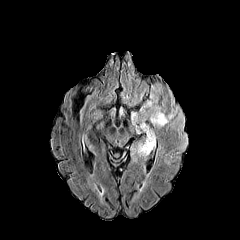
FLAIR magnetic resonance.
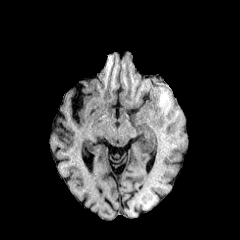
Same slice, T1-weighted MRI.
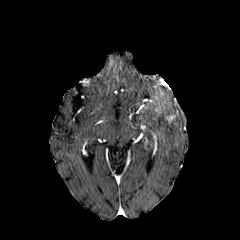
Post-contrast T1-weighted MR.
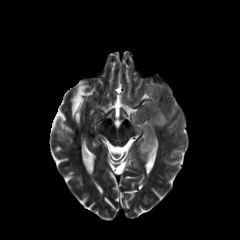
T2-weighted MR image.
Axial slice. Brain. 240x240.
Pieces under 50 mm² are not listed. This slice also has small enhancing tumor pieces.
peritumoral edema: bbox=[132, 83, 170, 156]